FLAIR magnetic resonance.
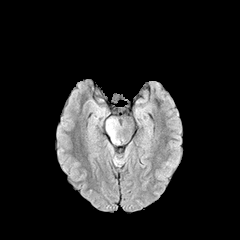
T1-weighted magnetic resonance.
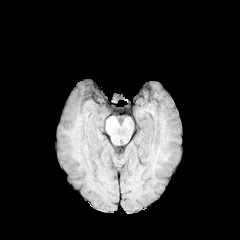
Post-contrast T1-weighted MR.
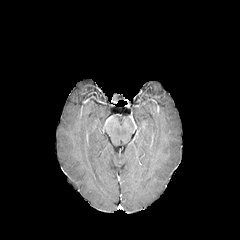
T2-weighted MRI.
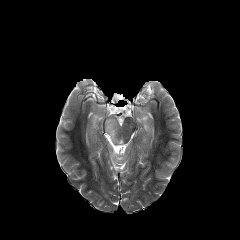
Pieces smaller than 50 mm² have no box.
<segmentation>
  <peritumoral_edema>x1=106, y1=118, x2=120, y2=144; x1=113, y1=156, x2=123, y2=164</peritumoral_edema>
</segmentation>